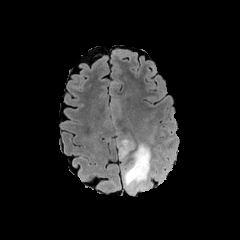
FLAIR MR image.
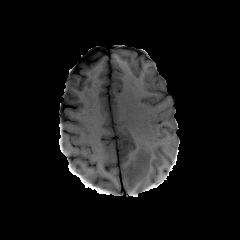
Same slice, T1-weighted MR.
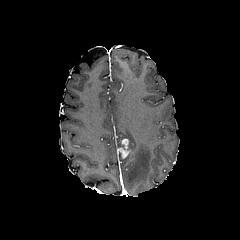
Post-contrast T1-weighted magnetic resonance.
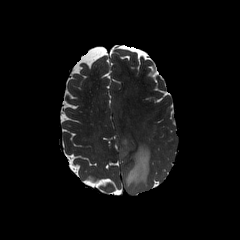
T2-weighted MR image of the same slice.
Head
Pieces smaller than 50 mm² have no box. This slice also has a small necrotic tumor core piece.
<segmentation>
  <enhancing_tumor>(119,138,130,158)</enhancing_tumor>
  <peritumoral_edema>(119,142,160,193)</peritumoral_edema>
</segmentation>